FLAIR MR image.
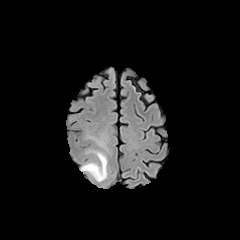
T1-weighted magnetic resonance.
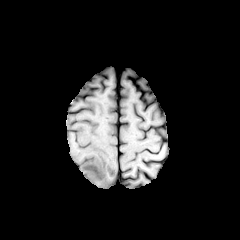
Post-contrast T1-weighted MRI.
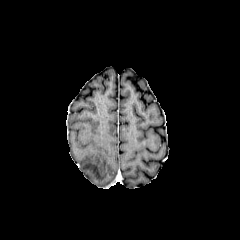
T2-weighted MRI.
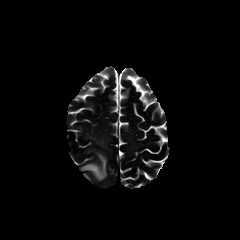
The peritumoral edema is bounded by [81,151,107,181].